Axial slice, Head
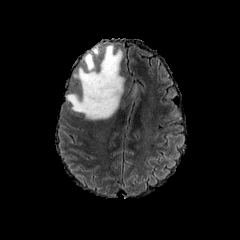
FLAIR magnetic resonance.
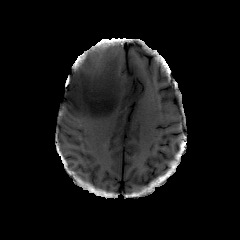
T1-weighted MR.
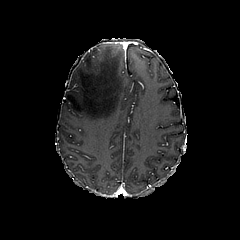
Post-contrast T1-weighted MRI of the same slice.
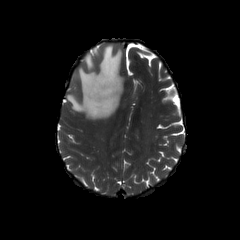
Same slice, T2-weighted MRI.
<segmentation>
  <peritumoral_edema>l=92, t=47, r=99, b=56; l=66, t=44, r=124, b=119</peritumoral_edema>
</segmentation>